Slice index 51
FLAIR MR image.
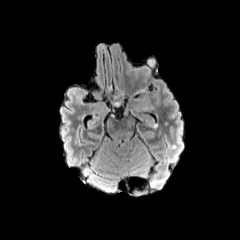
T1-weighted magnetic resonance.
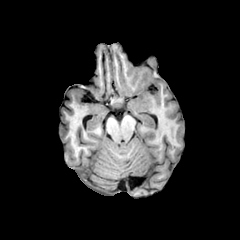
Post-contrast T1-weighted MR.
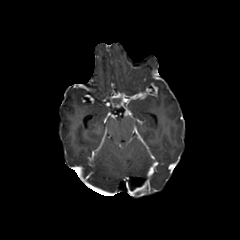
T2-weighted MR.
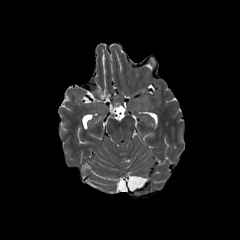
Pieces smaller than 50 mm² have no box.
{
  "enhancing_tumor": [
    "(left=112, top=83, right=157, bottom=109)"
  ],
  "peritumoral_edema": [
    "(left=134, top=95, right=150, bottom=108)"
  ]
}